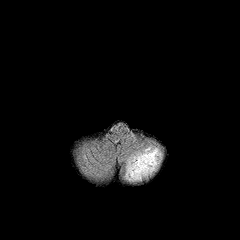
FLAIR MR.
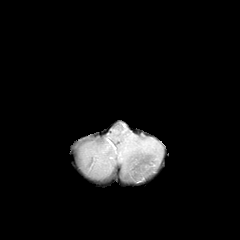
T1-weighted MR image of the same slice.
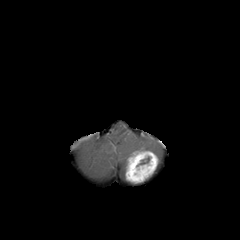
Post-contrast T1-weighted magnetic resonance.
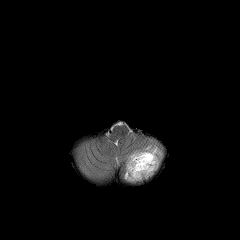
Same slice, T2-weighted magnetic resonance.
Axial view
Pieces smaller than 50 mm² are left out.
<segmentation>
  <necrotic_tumor_core>box=[139, 157, 149, 164]</necrotic_tumor_core>
  <peritumoral_edema>box=[120, 141, 162, 172]</peritumoral_edema>
  <enhancing_tumor>box=[125, 150, 158, 183]</enhancing_tumor>
</segmentation>